240x240 | Head | Slice 70 of 155 | Axial plane
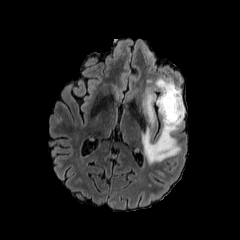
FLAIR MRI.
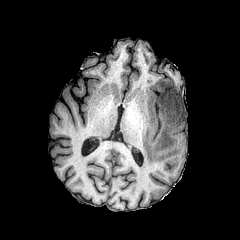
T1-weighted MR.
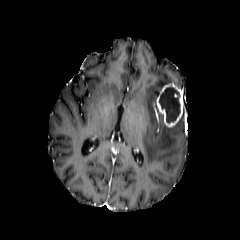
Post-contrast T1-weighted magnetic resonance of the same slice.
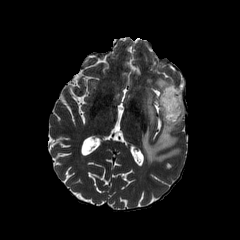
T2-weighted magnetic resonance of the same slice.
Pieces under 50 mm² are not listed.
peritumoral edema: 156 78 173 90, 142 107 184 163, 143 91 156 125 | enhancing tumor: 156 83 184 127 | necrotic tumor core: 159 87 180 122